Slice 62 of 155
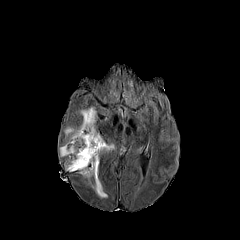
FLAIR magnetic resonance.
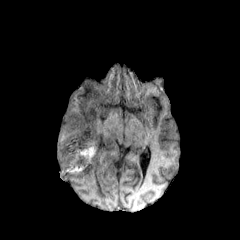
T1-weighted magnetic resonance of the same slice.
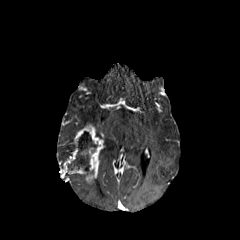
Post-contrast T1-weighted magnetic resonance.
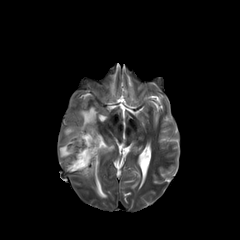
T2-weighted magnetic resonance.
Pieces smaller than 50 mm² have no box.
necrotic tumor core: bbox(68, 131, 97, 171) | enhancing tumor: bbox(63, 124, 104, 182) | peritumoral edema: bbox(100, 143, 114, 153); bbox(92, 177, 107, 197); bbox(59, 107, 96, 157)